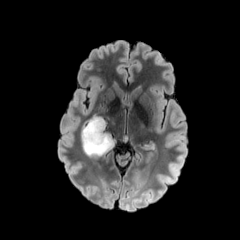
FLAIR MRI.
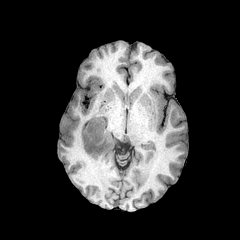
T1-weighted MR of the same slice.
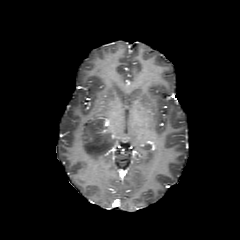
Post-contrast T1-weighted MRI of the same slice.
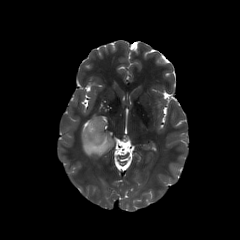
T2-weighted magnetic resonance of the same slice.
240x240 | Head
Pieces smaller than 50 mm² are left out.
The largest peritumoral edema region lies within (x1=81, y1=115, x2=116, y2=156).